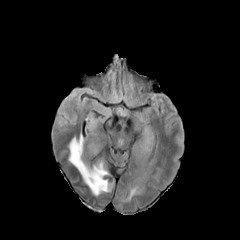
FLAIR MRI.
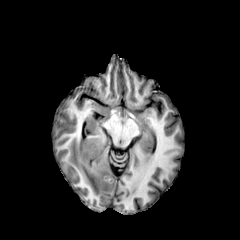
Same slice, T1-weighted magnetic resonance.
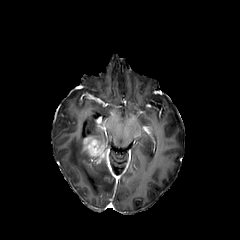
Post-contrast T1-weighted MR of the same slice.
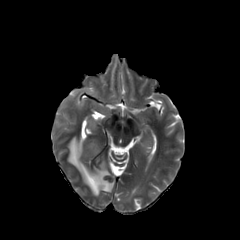
Same slice, T2-weighted MR image.
240x240. Axial plane.
peritumoral_edema:
  - (left=68, top=135, right=112, bottom=195)
enhancing_tumor:
  - (left=82, top=137, right=108, bottom=164)